Brain. Axial slice. Slice 134 of 155.
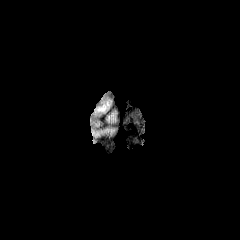
FLAIR MRI.
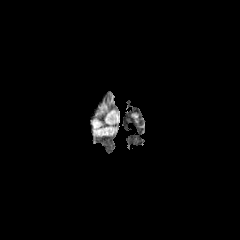
T1-weighted MR image of the same slice.
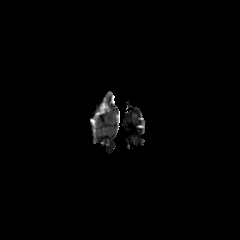
Post-contrast T1-weighted MRI of the same slice.
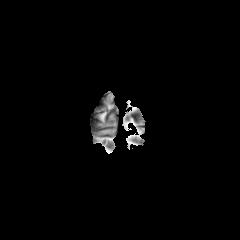
Same slice, T2-weighted magnetic resonance.
Segmented structures:
• enhancing tumor: box=[99, 102, 106, 111]
• peritumoral edema: box=[98, 128, 115, 135]; box=[107, 112, 115, 122]